FLAIR MRI.
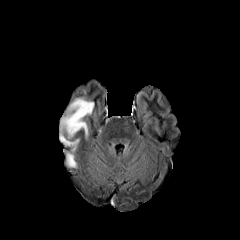
T1-weighted MR image.
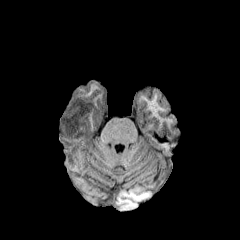
Post-contrast T1-weighted MR image.
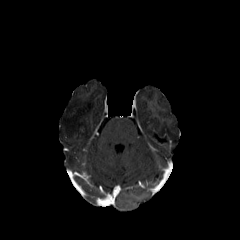
T2-weighted MR image.
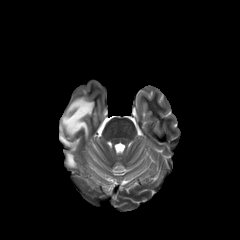
240x240 px | Head
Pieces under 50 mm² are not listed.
The 3 largest peritumoral edema regions are located at 59, 133, 78, 145; 61, 98, 94, 136; 67, 153, 76, 167.